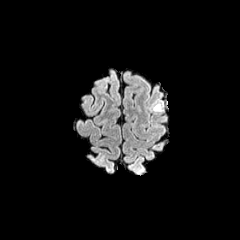
FLAIR magnetic resonance.
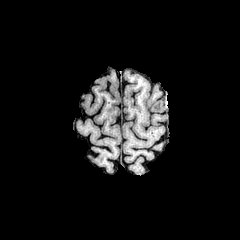
T1-weighted MR.
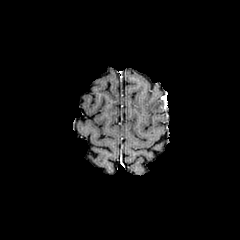
Post-contrast T1-weighted MR image.
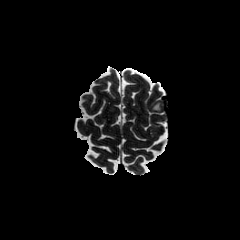
T2-weighted MRI.
240x240 px. Axial plane.
Annotated regions:
• peritumoral edema: x1=153, y1=103, x2=161, y2=110